FLAIR MR image.
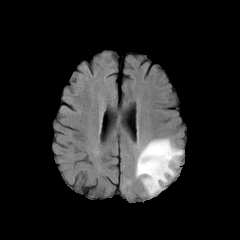
T1-weighted magnetic resonance.
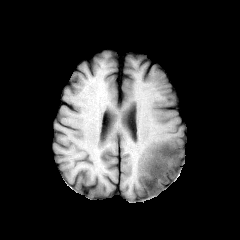
Post-contrast T1-weighted magnetic resonance.
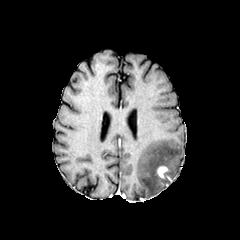
T2-weighted MR image.
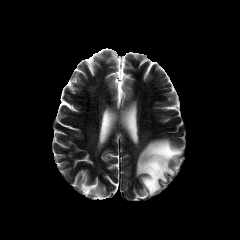
enhancing tumor at region(156, 166, 168, 178)
peritumoral edema at region(135, 138, 183, 196)